FLAIR MR image.
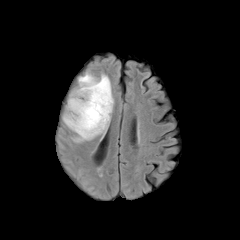
T1-weighted MR image.
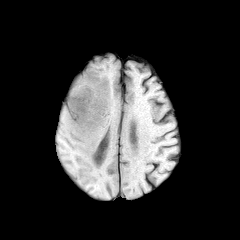
Post-contrast T1-weighted MRI.
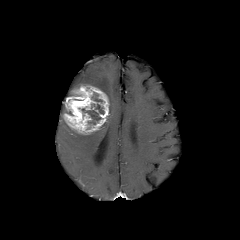
T2-weighted magnetic resonance.
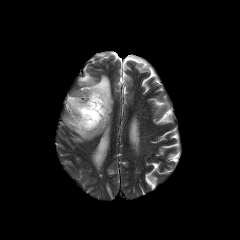
240x240 px
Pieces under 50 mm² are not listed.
The largest peritumoral edema region is located at 63,72,113,142. The largest necrotic tumor core region is bounded by 82,109,101,124. The enhancing tumor is bounded by 64,85,109,134.